FLAIR magnetic resonance.
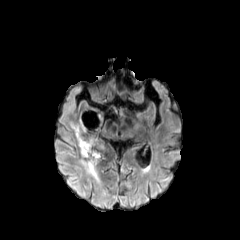
T1-weighted MR image.
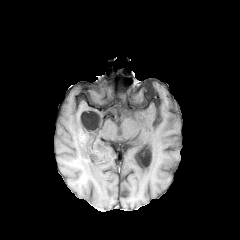
Post-contrast T1-weighted MR image.
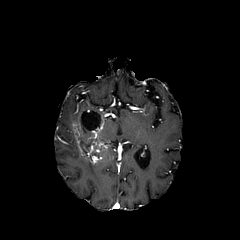
T2-weighted MR image.
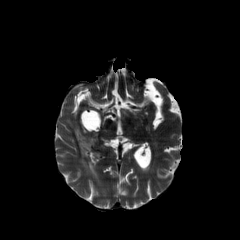
Brain
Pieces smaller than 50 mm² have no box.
The peritumoral edema is bounded by region(79, 159, 100, 184). The 2 largest necrotic tumor core regions are bounded by region(78, 136, 96, 155); region(80, 111, 101, 130). The enhancing tumor is bounded by region(70, 108, 113, 163).